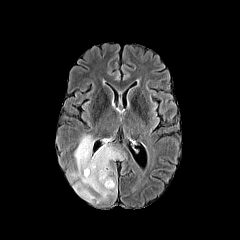
FLAIR MR image.
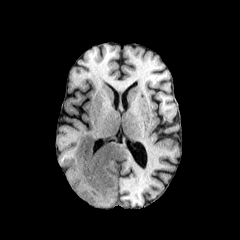
Same slice, T1-weighted magnetic resonance.
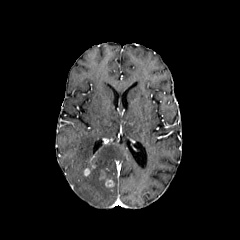
Post-contrast T1-weighted MR.
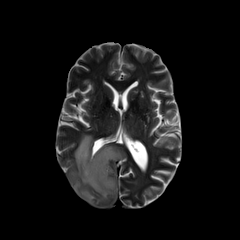
T2-weighted MR.
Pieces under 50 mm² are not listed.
The 2 largest enhancing tumor regions appear at <bbox>84, 163, 95, 176</bbox>, <bbox>105, 179, 114, 187</bbox>. The peritumoral edema is at <bbox>69, 135, 123, 203</bbox>.